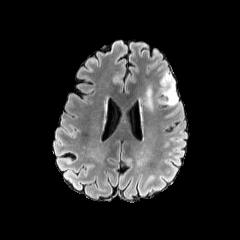
FLAIR magnetic resonance.
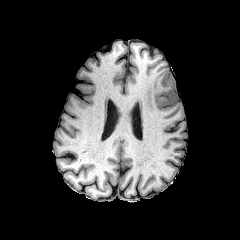
T1-weighted MRI.
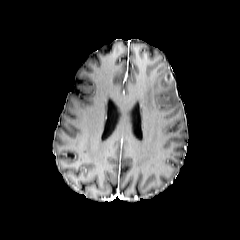
Post-contrast T1-weighted MRI.
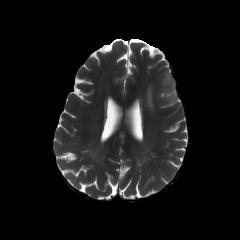
Same slice, T2-weighted magnetic resonance.
Image size 240x240; Head; Axial view
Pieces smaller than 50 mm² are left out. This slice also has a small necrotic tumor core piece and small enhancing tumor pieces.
The peritumoral edema is at 145,70,178,110.